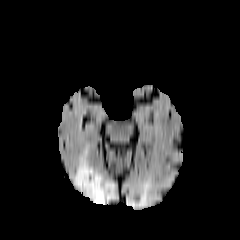
FLAIR MR image.
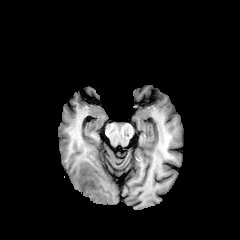
T1-weighted magnetic resonance.
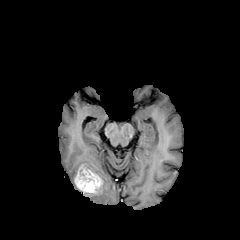
Post-contrast T1-weighted MR.
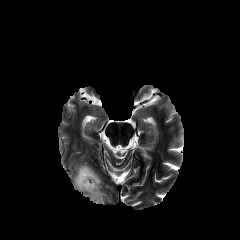
T2-weighted magnetic resonance of the same slice.
Head. Axial view.
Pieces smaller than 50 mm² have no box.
Segmented structures:
* enhancing tumor: x1=74 y1=164 x2=102 y2=196
* peritumoral edema: x1=77 y1=156 x2=114 y2=204